FLAIR MRI.
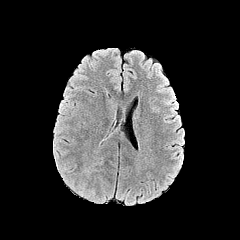
T1-weighted MR.
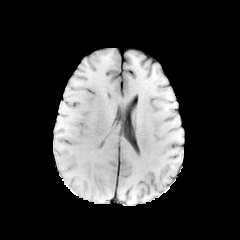
Post-contrast T1-weighted MR.
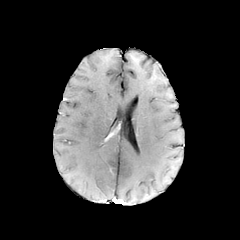
T2-weighted MR image.
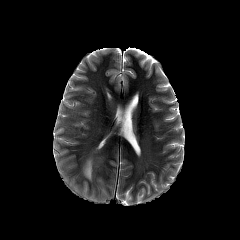
Brain, Axial plane
peritumoral edema = (left=83, top=161, right=92, bottom=178)